FLAIR magnetic resonance.
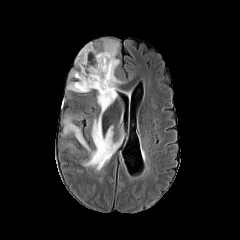
T1-weighted MR image.
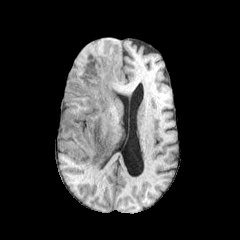
Post-contrast T1-weighted magnetic resonance.
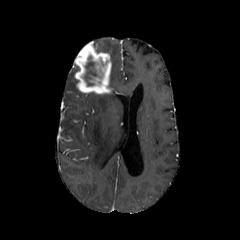
T2-weighted MRI.
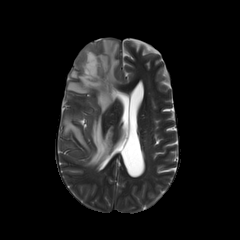
Axial slice, Head
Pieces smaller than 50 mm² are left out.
necrotic tumor core: (x1=84, y1=61, x2=96, y2=85)
enhancing tumor: (x1=74, y1=42, x2=112, y2=94)
peritumoral edema: (x1=67, y1=82, x2=81, y2=92), (x1=84, y1=40, x2=121, y2=165), (x1=64, y1=116, x2=90, y2=151)